FLAIR magnetic resonance.
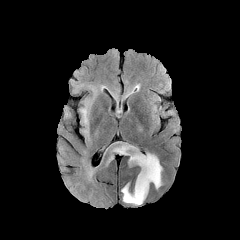
T1-weighted MR.
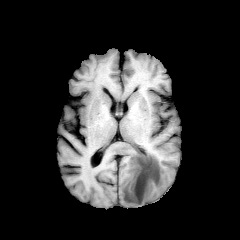
Post-contrast T1-weighted magnetic resonance.
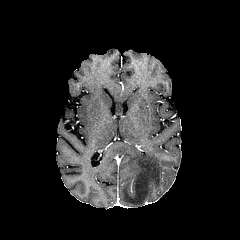
T2-weighted magnetic resonance.
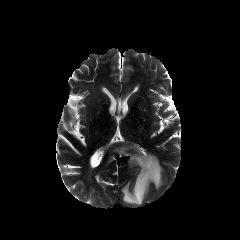
Axial view, Head
peritumoral edema: (114,144,162,205), (105,154,114,165), (81,109,87,122)